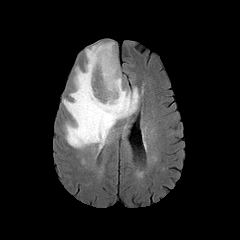
FLAIR magnetic resonance.
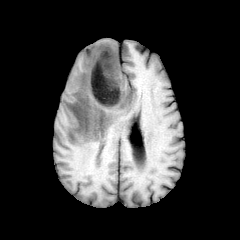
T1-weighted MRI.
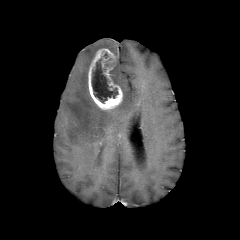
Same slice, post-contrast T1-weighted MR image.
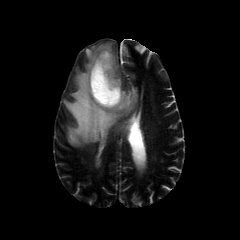
T2-weighted MR.
Axial slice | Brain
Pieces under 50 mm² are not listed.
* necrotic tumor core: rect(91, 59, 117, 102)
* peritumoral edema: rect(63, 42, 139, 149)
* enhancing tumor: rect(88, 48, 122, 110)